Image size 240x240 | Head
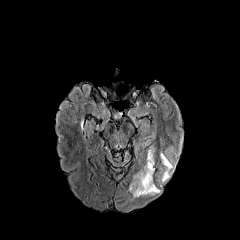
FLAIR MR image.
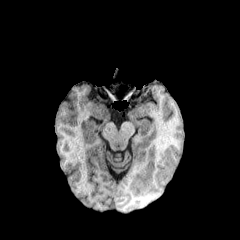
T1-weighted MRI.
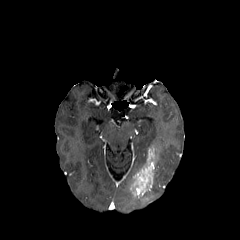
Post-contrast T1-weighted MR image.
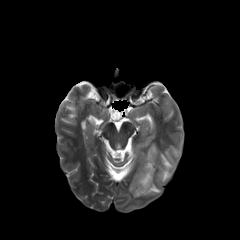
T2-weighted MRI of the same slice.
Annotated regions:
- peritumoral edema: left=144, top=184, right=160, bottom=194; left=160, top=152, right=173, bottom=182
- enhancing tumor: left=129, top=145, right=158, bottom=196